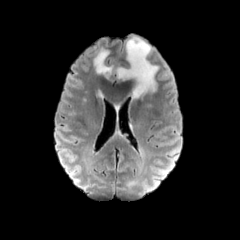
FLAIR MRI.
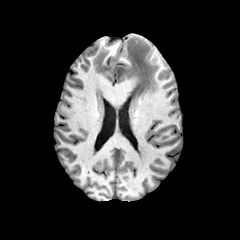
T1-weighted magnetic resonance.
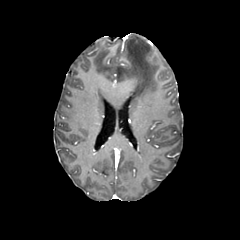
Post-contrast T1-weighted MRI.
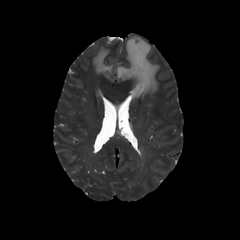
T2-weighted magnetic resonance.
peritumoral edema = (116, 36, 158, 98), (93, 48, 113, 77)